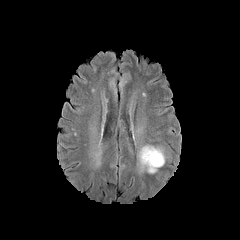
FLAIR MR.
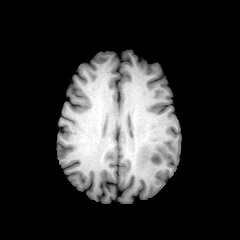
T1-weighted MR image.
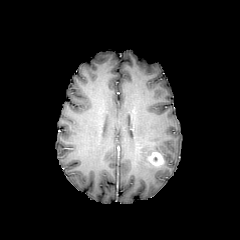
Post-contrast T1-weighted MRI.
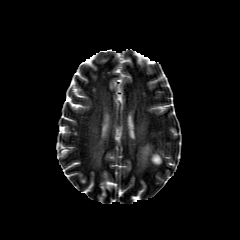
T2-weighted magnetic resonance.
Axial plane
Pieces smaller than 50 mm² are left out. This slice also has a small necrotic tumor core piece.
peritumoral edema: [139,146,164,172]
enhancing tumor: [148,152,163,165]